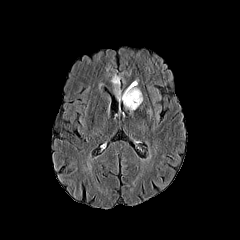
FLAIR MR image.
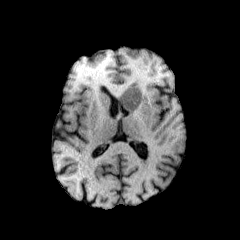
Same slice, T1-weighted MRI.
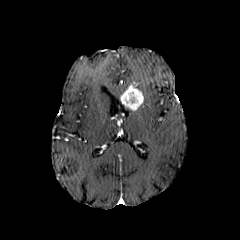
Post-contrast T1-weighted MRI.
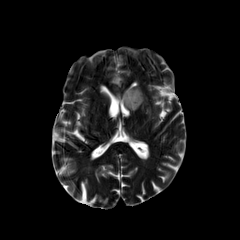
Same slice, T2-weighted magnetic resonance.
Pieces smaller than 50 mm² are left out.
peritumoral edema: bounding box x1=111, y1=76, x2=119, y2=85
enhancing tumor: bounding box x1=120, y1=86, x2=143, y2=110